FLAIR MR.
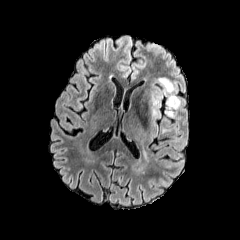
T1-weighted magnetic resonance.
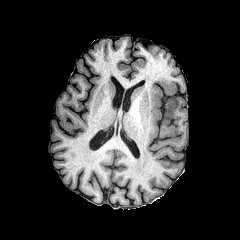
Post-contrast T1-weighted MRI.
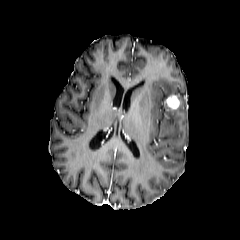
T2-weighted MR image.
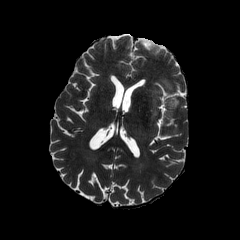
Axial slice; Brain
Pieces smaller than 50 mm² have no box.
peritumoral_edema:
  - 159 78 173 92
  - 166 107 174 116
enhancing_tumor:
  - 166 94 179 109